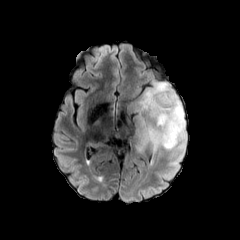
FLAIR MR.
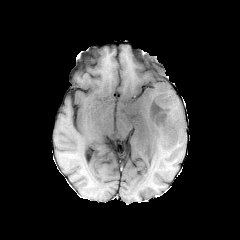
T1-weighted MR image.
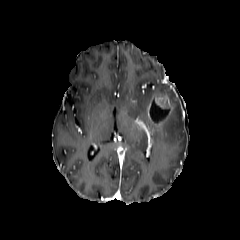
Post-contrast T1-weighted magnetic resonance.
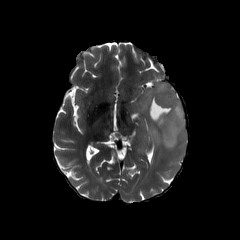
T2-weighted MR image.
Brain.
<segmentation>
  <necrotic_tumor_core>box(150, 100, 169, 122)</necrotic_tumor_core>
  <peritumoral_edema>box(128, 81, 185, 153)</peritumoral_edema>
  <enhancing_tumor>box(148, 92, 173, 125)</enhancing_tumor>
</segmentation>